Image covers 240 mm x 240 mm; 240x240 px
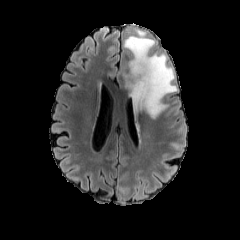
FLAIR MR.
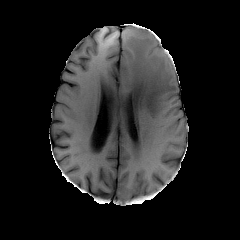
T1-weighted MRI.
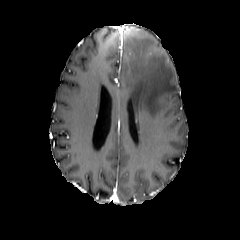
Post-contrast T1-weighted MRI.
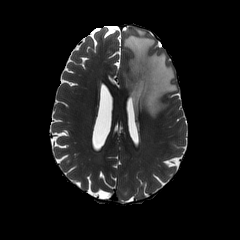
T2-weighted MR image.
peritumoral edema: rect(123, 27, 177, 118)